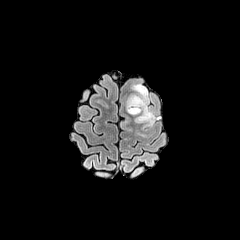
FLAIR MRI.
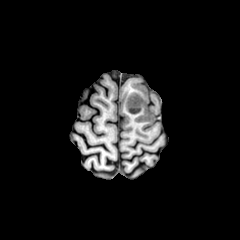
T1-weighted MR image.
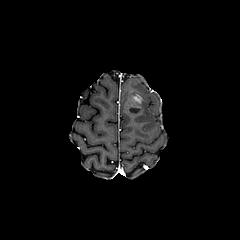
Post-contrast T1-weighted MRI of the same slice.
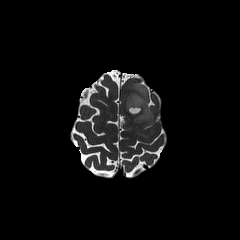
T2-weighted MR image.
240x240
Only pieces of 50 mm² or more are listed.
<segmentation>
  <enhancing_tumor>[126,94,142,114]</enhancing_tumor>
  <peritumoral_edema>[126,83,156,125]</peritumoral_edema>
  <necrotic_tumor_core>[129,108,140,113]</necrotic_tumor_core>
</segmentation>